FLAIR magnetic resonance.
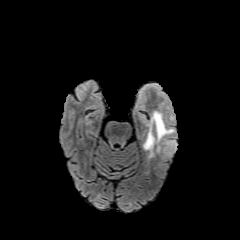
T1-weighted MRI.
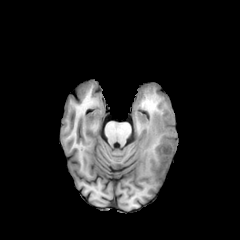
Post-contrast T1-weighted MRI.
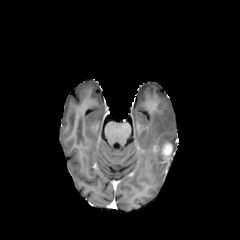
T2-weighted MR image.
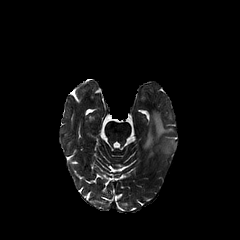
Head.
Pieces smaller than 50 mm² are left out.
<segmentation>
  <peritumoral_edema>box=[165, 140, 176, 149]; box=[144, 111, 174, 156]</peritumoral_edema>
  <enhancing_tumor>box=[162, 142, 172, 160]</enhancing_tumor>
</segmentation>